Axial slice, Brain
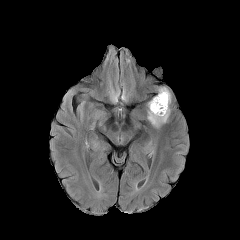
FLAIR MRI.
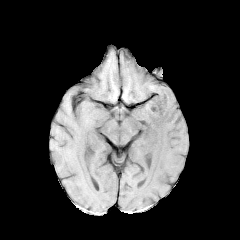
T1-weighted MR image.
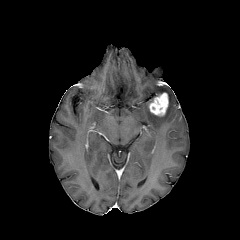
Post-contrast T1-weighted magnetic resonance.
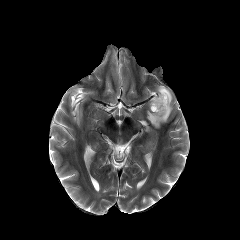
T2-weighted MR of the same slice.
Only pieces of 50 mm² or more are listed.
peritumoral edema — 147:87:171:128
enhancing tumor — 149:92:168:115